240x240 px | Axial slice
FLAIR MR image.
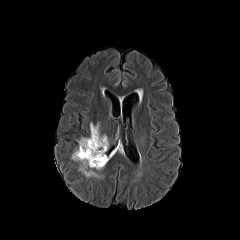
T1-weighted MRI.
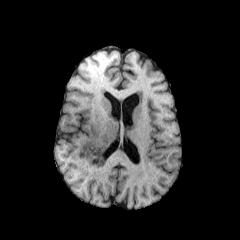
Post-contrast T1-weighted MR image.
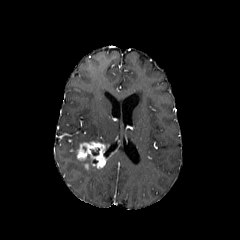
T2-weighted MRI.
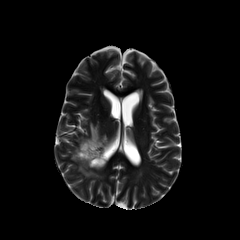
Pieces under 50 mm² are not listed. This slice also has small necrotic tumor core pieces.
enhancing_tumor:
  - rect(76, 141, 107, 169)
peritumoral_edema:
  - rect(71, 144, 105, 177)
  - rect(78, 123, 110, 146)